FLAIR MR image.
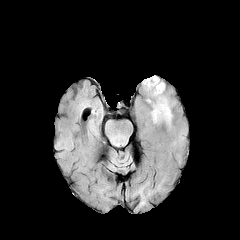
T1-weighted MR image.
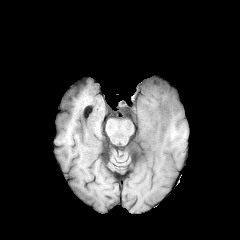
Post-contrast T1-weighted magnetic resonance.
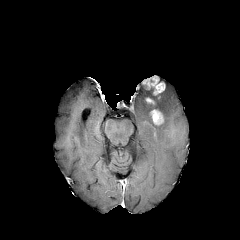
T2-weighted magnetic resonance.
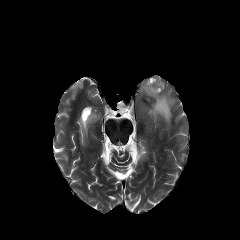
Axial view. Brain. Image size 240x240.
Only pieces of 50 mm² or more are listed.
Annotated regions:
• peritumoral edema: [144, 88, 173, 124]
• enhancing tumor: [150, 109, 163, 124], [142, 76, 165, 95]